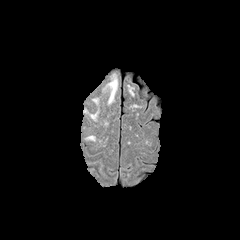
FLAIR magnetic resonance.
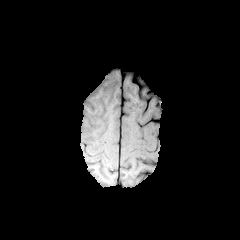
T1-weighted MR of the same slice.
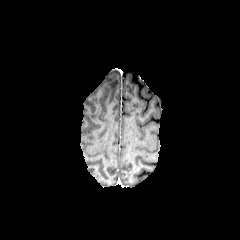
Post-contrast T1-weighted magnetic resonance.
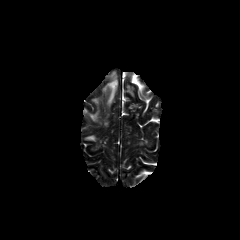
T2-weighted MRI of the same slice.
Brain
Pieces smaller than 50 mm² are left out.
Annotated regions:
* peritumoral edema: (103,73,118,105), (89,110,98,120)